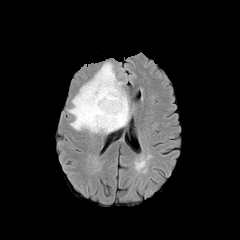
FLAIR MR.
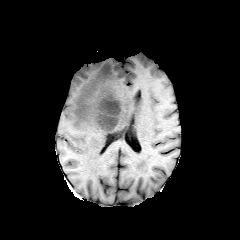
T1-weighted MRI of the same slice.
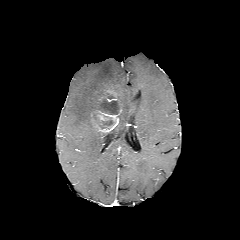
Post-contrast T1-weighted MRI.
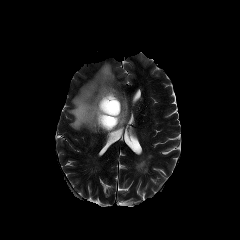
T2-weighted MRI of the same slice.
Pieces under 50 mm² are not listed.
enhancing tumor — rect(92, 90, 121, 132)
necrotic tumor core — rect(99, 116, 113, 128); rect(101, 99, 119, 114)
peritumoral edema — rect(68, 62, 130, 134)